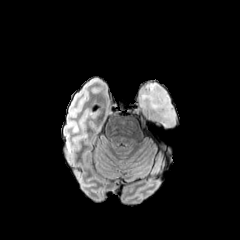
FLAIR MR.
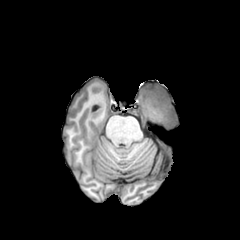
T1-weighted MRI.
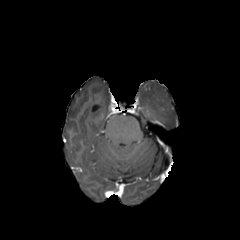
Post-contrast T1-weighted MR image.
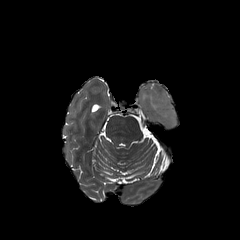
T2-weighted MRI of the same slice.
Axial view | Head
The peritumoral edema is at <bbox>139, 83, 177, 129</bbox>.